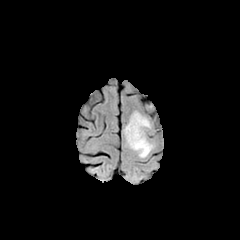
FLAIR MR.
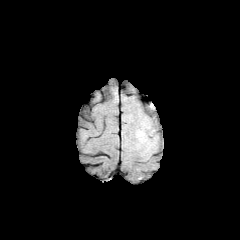
T1-weighted MR.
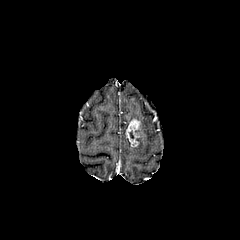
Post-contrast T1-weighted MR.
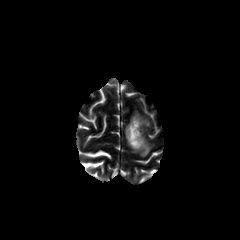
Same slice, T2-weighted MR.
Head. 240x240 px.
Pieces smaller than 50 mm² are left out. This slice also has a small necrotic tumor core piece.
peritumoral edema: left=124, top=111, right=153, bottom=157 | enhancing tumor: left=126, top=119, right=140, bottom=147